FLAIR MR.
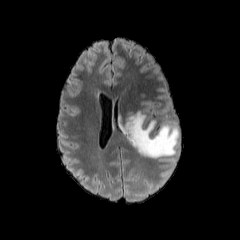
T1-weighted MR.
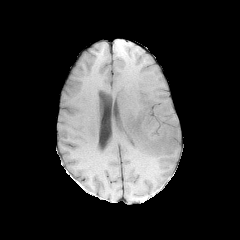
Post-contrast T1-weighted MR image.
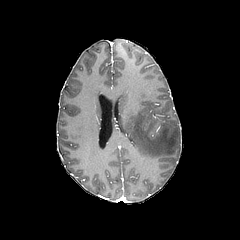
T2-weighted magnetic resonance.
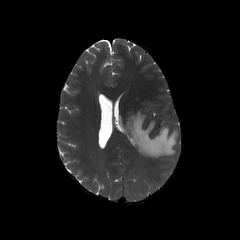
240x240, Axial view
The peritumoral edema is bounded by [122, 111, 178, 158].